FLAIR MR image.
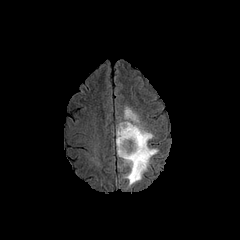
T1-weighted MRI.
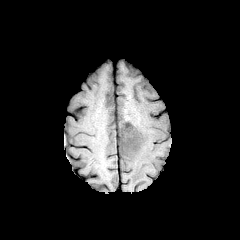
Post-contrast T1-weighted MR image.
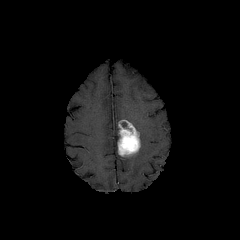
T2-weighted MRI.
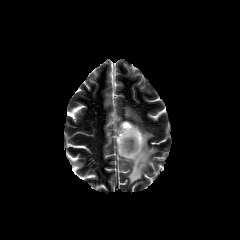
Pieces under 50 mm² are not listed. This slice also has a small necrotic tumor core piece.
enhancing tumor at l=117, t=120, r=140, b=157
peritumoral edema at l=121, t=106, r=158, b=186